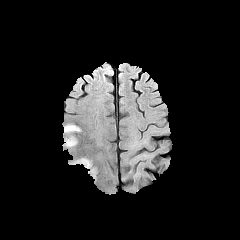
FLAIR MRI.
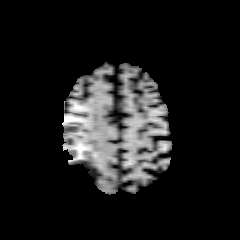
T1-weighted magnetic resonance.
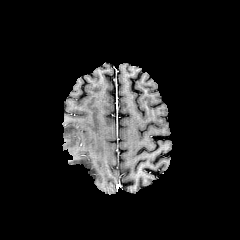
Post-contrast T1-weighted MRI.
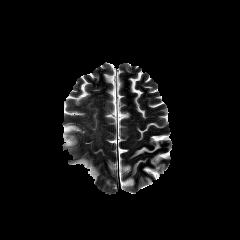
T2-weighted MR image of the same slice.
240x240
peritumoral edema: (left=73, top=158, right=96, bottom=178), (left=64, top=136, right=76, bottom=147), (left=64, top=124, right=80, bottom=133)